Image width 240 mm | Head
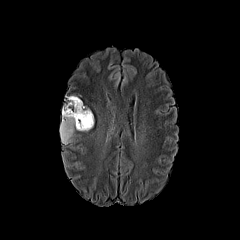
FLAIR MR.
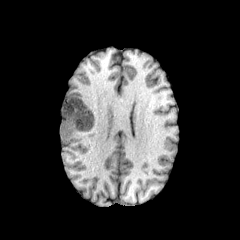
T1-weighted magnetic resonance.
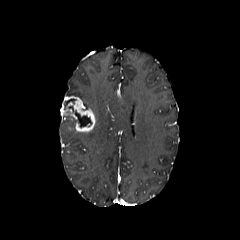
Same slice, post-contrast T1-weighted magnetic resonance.
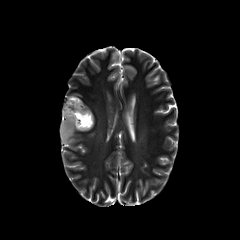
T2-weighted MR of the same slice.
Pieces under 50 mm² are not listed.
Findings:
* peritumoral edema: box=[60, 115, 76, 144]
* necrotic tumor core: box=[69, 106, 92, 127]
* enhancing tumor: box=[61, 96, 95, 132]